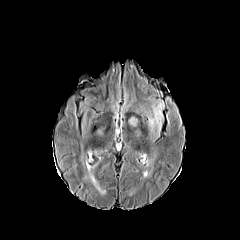
FLAIR MRI.
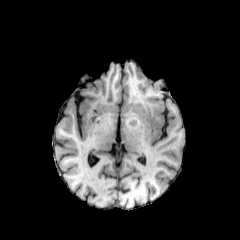
T1-weighted magnetic resonance.
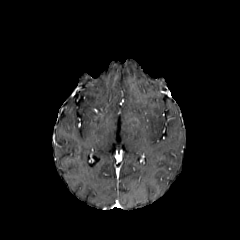
Post-contrast T1-weighted MR image.
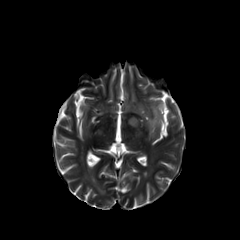
T2-weighted MRI.
Axial plane; Head
{"peritumoral_edema": ["[149, 104, 161, 130]", "[128, 116, 139, 125]"]}